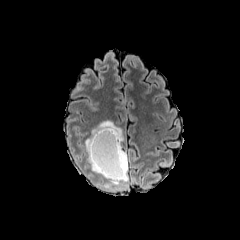
FLAIR magnetic resonance.
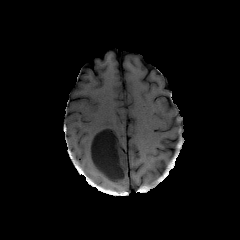
T1-weighted magnetic resonance.
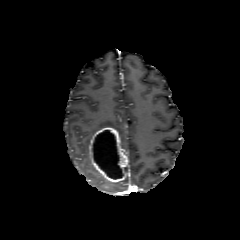
Post-contrast T1-weighted magnetic resonance of the same slice.
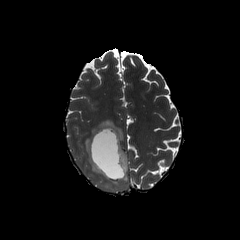
Same slice, T2-weighted magnetic resonance.
Brain; 240x240
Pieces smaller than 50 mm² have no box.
The enhancing tumor is at box(89, 127, 128, 182). The 2 largest peritumoral edema regions are bounded by box(85, 120, 123, 178); box(109, 166, 127, 184). The necrotic tumor core is bounded by box(92, 130, 123, 179).